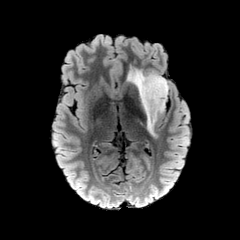
FLAIR MR.
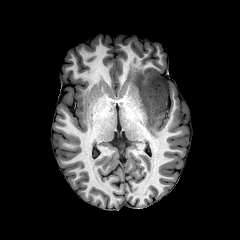
T1-weighted MR image.
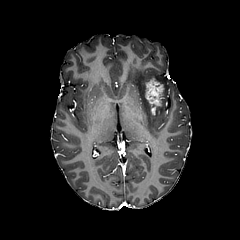
Post-contrast T1-weighted MRI of the same slice.
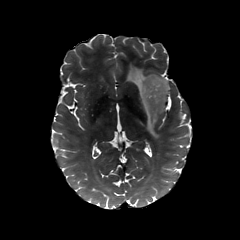
Same slice, T2-weighted magnetic resonance.
Axial slice, Image size 240x240, Brain
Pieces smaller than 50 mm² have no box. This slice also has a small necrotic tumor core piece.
Annotated regions:
- peritumoral edema: box=[126, 66, 168, 136]
- enhancing tumor: box=[144, 78, 164, 115]